Head. Slice index 57. Image size 240x240. Axial view.
FLAIR MR image.
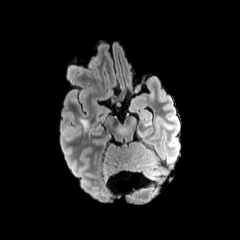
T1-weighted magnetic resonance.
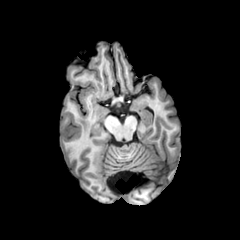
Post-contrast T1-weighted magnetic resonance.
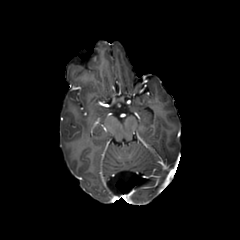
T2-weighted MR image.
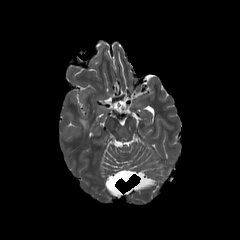
Segmented structures:
* peritumoral edema: (left=80, top=119, right=88, bottom=129)